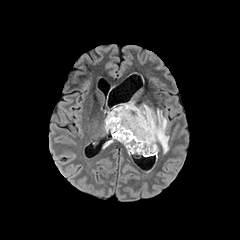
FLAIR magnetic resonance.
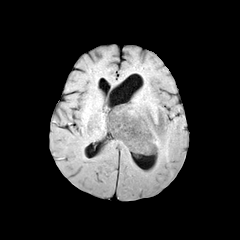
Same slice, T1-weighted MR image.
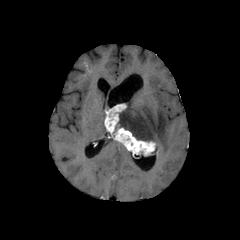
Post-contrast T1-weighted MR image of the same slice.
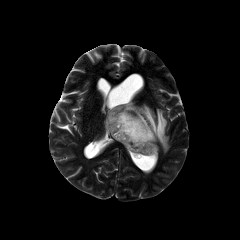
T2-weighted MR image.
Brain. 240x240 px.
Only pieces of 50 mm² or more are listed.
The 2 largest peritumoral edema regions are located at (103,138,113,148), (118,100,169,156). The enhancing tumor appears at (104,103,155,156).